Axial plane; Brain
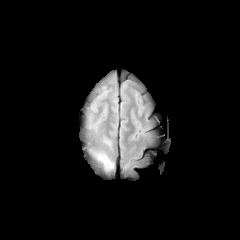
FLAIR MR image.
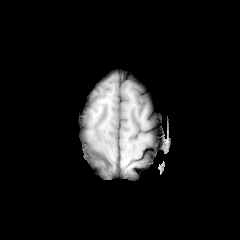
T1-weighted MR of the same slice.
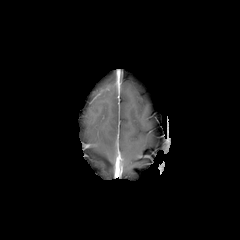
Post-contrast T1-weighted MRI.
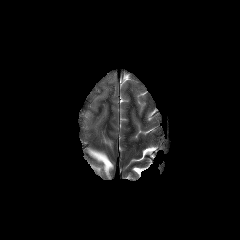
T2-weighted MR.
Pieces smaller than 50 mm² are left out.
<segmentation>
  <peritumoral_edema>{"x1": 91, "y1": 151, "x2": 113, "y2": 170}</peritumoral_edema>
</segmentation>